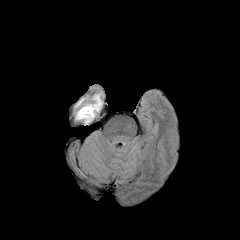
FLAIR MR image.
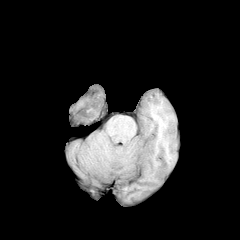
T1-weighted MR of the same slice.
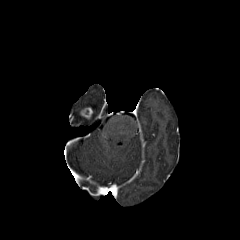
Post-contrast T1-weighted MRI.
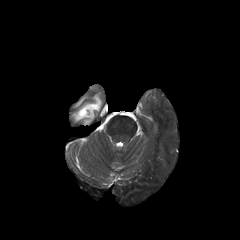
T2-weighted MRI.
Head
- peritumoral edema: bbox(75, 92, 102, 124)
- enhancing tumor: bbox(80, 107, 93, 119)